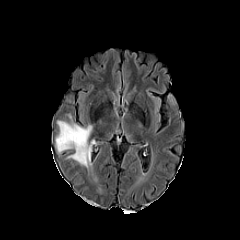
FLAIR MR.
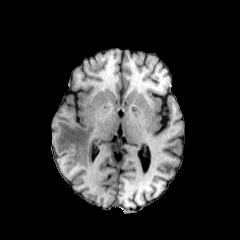
T1-weighted magnetic resonance.
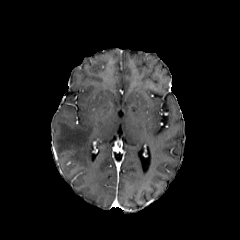
Post-contrast T1-weighted MR image.
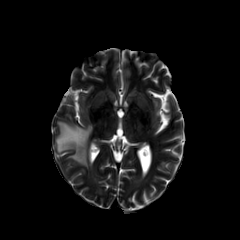
T2-weighted MR image.
240x240, Head
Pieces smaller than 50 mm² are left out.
The largest peritumoral edema region lies within box=[55, 121, 92, 168].